Image width 240 mm, 1.00 mm slice spacing
FLAIR magnetic resonance.
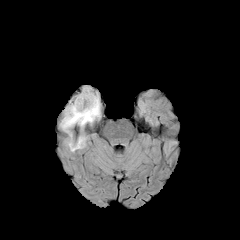
T1-weighted MR.
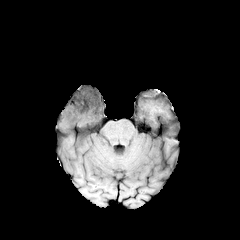
Post-contrast T1-weighted MRI.
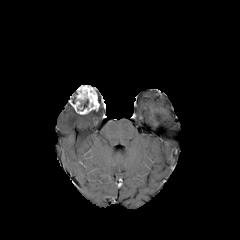
T2-weighted MR image.
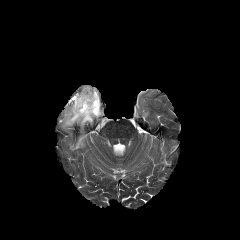
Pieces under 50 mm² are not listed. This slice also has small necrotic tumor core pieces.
enhancing tumor — (69,85,99,114)
peritumoral edema — (61,103,100,131), (69,135,85,150)